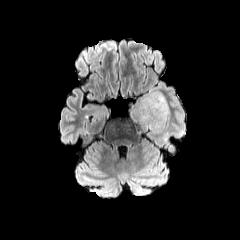
FLAIR MR image.
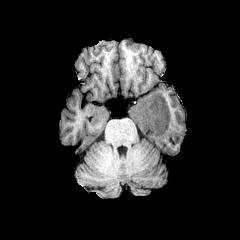
T1-weighted magnetic resonance.
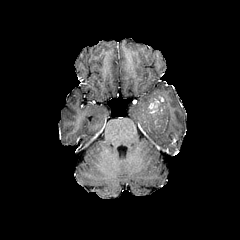
Post-contrast T1-weighted MR of the same slice.
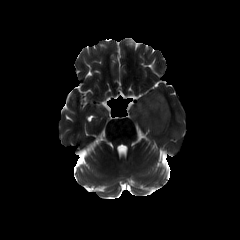
T2-weighted magnetic resonance.
The enhancing tumor is at 148:95:164:113. The peritumoral edema is bounded by 132:92:170:132.